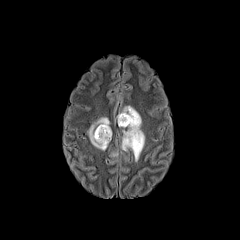
FLAIR MRI.
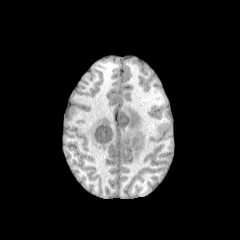
T1-weighted MRI.
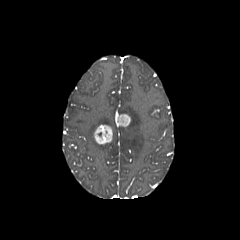
Same slice, post-contrast T1-weighted MRI.
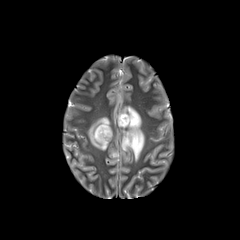
T2-weighted MR image.
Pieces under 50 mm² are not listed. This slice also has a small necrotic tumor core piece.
Annotated regions:
- enhancing tumor: x1=94 y1=125 x2=112 y2=144, x1=116 y1=114 x2=130 y2=126
- peritumoral edema: x1=87 y1=117 x2=109 y2=150, x1=119 y1=106 x2=144 y2=161